Axial view. Brain.
FLAIR magnetic resonance.
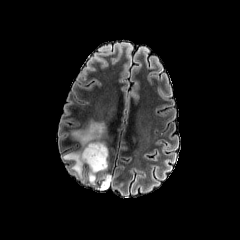
T1-weighted magnetic resonance.
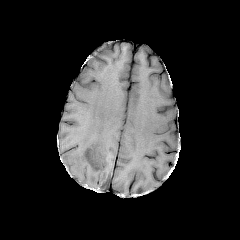
Post-contrast T1-weighted MRI.
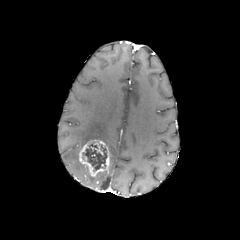
T2-weighted magnetic resonance.
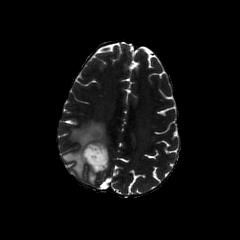
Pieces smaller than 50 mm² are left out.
Findings:
* necrotic tumor core: bbox=[83, 145, 107, 170]
* enhancing tumor: bbox=[78, 139, 109, 177]
* peritumoral edema: bbox=[72, 121, 108, 147]; bbox=[102, 177, 109, 187]; bbox=[63, 150, 83, 177]